Image width 240 mm; Slice 80/155; Brain; 240x240
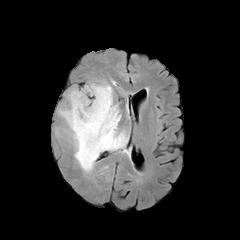
FLAIR MR image.
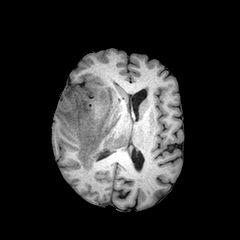
T1-weighted MR image.
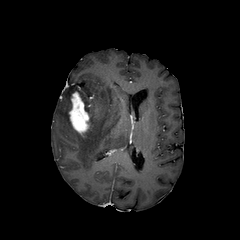
Post-contrast T1-weighted MR.
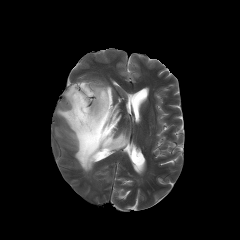
T2-weighted MRI.
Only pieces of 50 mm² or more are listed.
The largest peritumoral edema region lies within (x1=57, y1=82, x2=128, y2=172). The enhancing tumor is bounded by (x1=68, y1=91, x2=89, y2=134).